FLAIR MR.
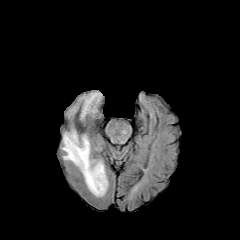
T1-weighted MR image.
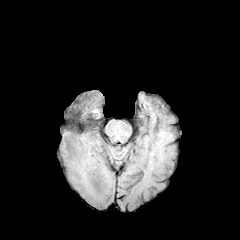
Post-contrast T1-weighted magnetic resonance.
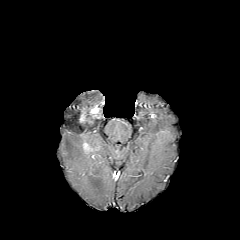
T2-weighted MR.
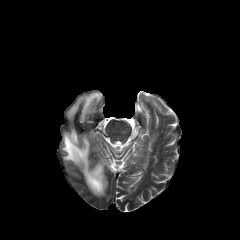
240x240. Axial view.
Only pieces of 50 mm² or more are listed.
enhancing tumor — bbox=[89, 105, 98, 116]; bbox=[80, 108, 85, 121]
peritumoral edema — bbox=[62, 129, 107, 196]; bbox=[67, 92, 101, 117]